FLAIR magnetic resonance.
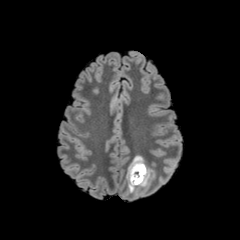
T1-weighted MR image.
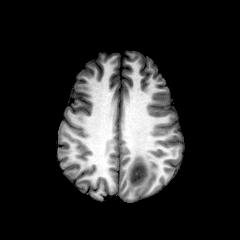
Post-contrast T1-weighted MR image.
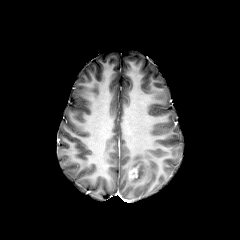
T2-weighted MR.
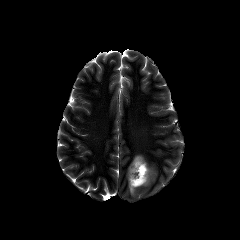
240x240; Head
Annotated regions:
- peritumoral edema: 126:155:154:193
- enhancing tumor: 128:164:147:186
- necrotic tumor core: 132:162:146:182